Slice index 94.
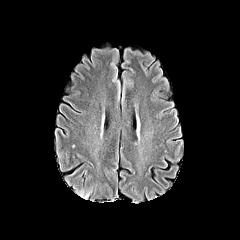
FLAIR magnetic resonance.
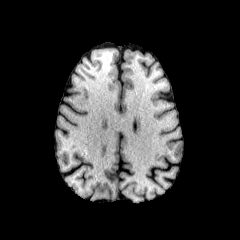
T1-weighted magnetic resonance.
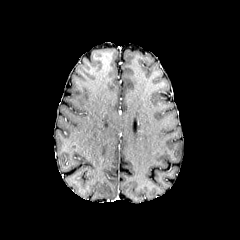
Same slice, post-contrast T1-weighted magnetic resonance.
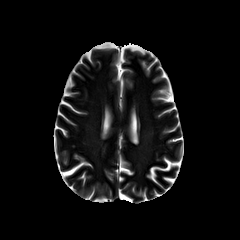
T2-weighted MR of the same slice.
{"peritumoral_edema": ["rect(78, 190, 90, 198)"]}